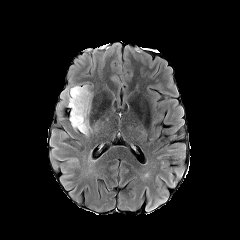
FLAIR MR image.
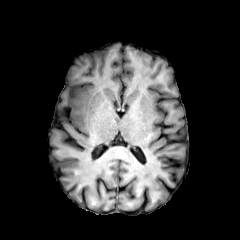
T1-weighted MRI of the same slice.
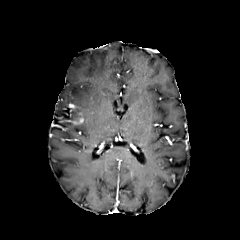
Post-contrast T1-weighted MR.
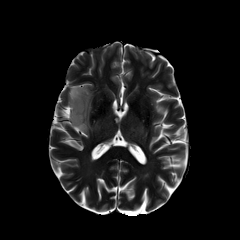
T2-weighted magnetic resonance.
Head.
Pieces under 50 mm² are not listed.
enhancing tumor: 72 113 83 124 | peritumoral edema: 67 84 92 135